Head, Axial view, Image width 240 mm
FLAIR MR image.
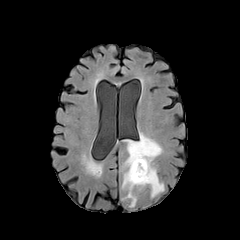
T1-weighted MRI.
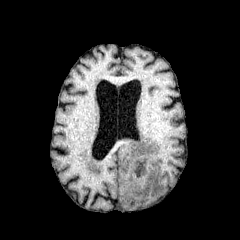
Post-contrast T1-weighted magnetic resonance.
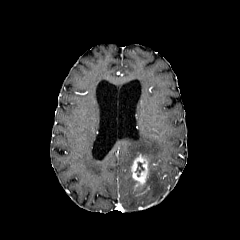
T2-weighted magnetic resonance.
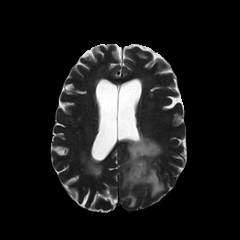
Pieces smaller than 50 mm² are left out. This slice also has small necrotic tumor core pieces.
Annotated regions:
* enhancing tumor: [x1=131, y1=154, x2=148, y2=186]
* peritumoral edema: [x1=122, y1=133, x2=164, y2=207]